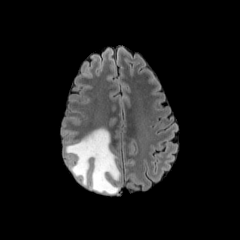
FLAIR MR.
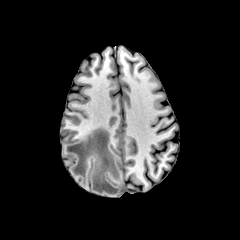
Same slice, T1-weighted MRI.
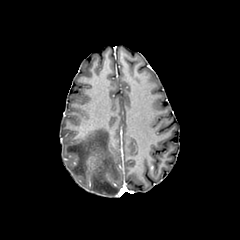
Same slice, post-contrast T1-weighted MRI.
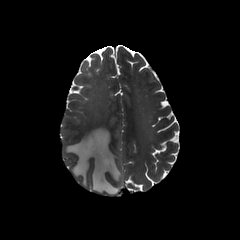
T2-weighted magnetic resonance of the same slice.
Brain
The peritumoral edema is bounded by bbox=[65, 128, 120, 194].